FLAIR MRI.
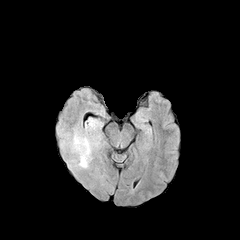
T1-weighted MR image.
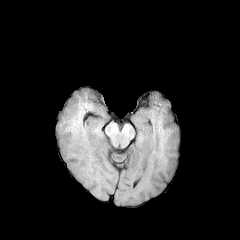
Post-contrast T1-weighted MR image.
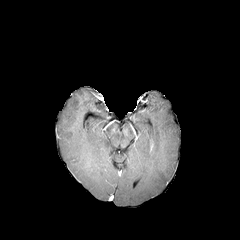
T2-weighted MR.
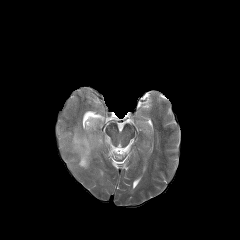
240x240 px.
{"peritumoral_edema": ["box=[58, 118, 101, 168]"]}